Image width 240 mm, 1.00 mm slice spacing, Axial view, Image size 240x240, Slice 87 of 155
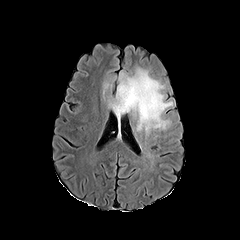
FLAIR MR.
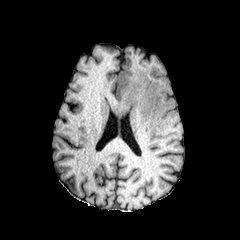
T1-weighted magnetic resonance.
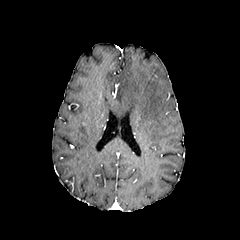
Post-contrast T1-weighted MR image.
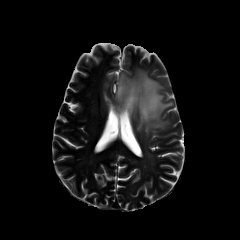
T2-weighted magnetic resonance.
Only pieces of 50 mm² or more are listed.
{
  "peritumoral_edema": [
    "[108, 68, 173, 134]"
  ]
}